Head, Slice 114/155
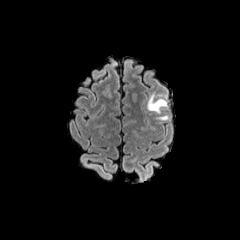
FLAIR MR.
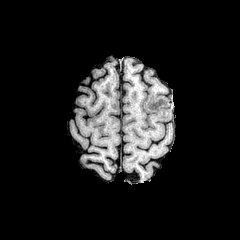
T1-weighted MR image.
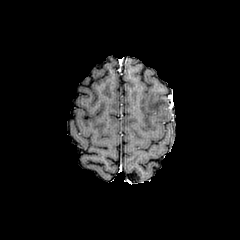
Post-contrast T1-weighted MR.
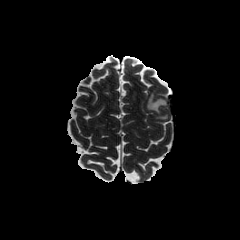
T2-weighted MR of the same slice.
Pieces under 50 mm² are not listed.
{"peritumoral_edema": ["l=147, t=93, r=166, b=113"]}